Axial slice.
FLAIR MR image.
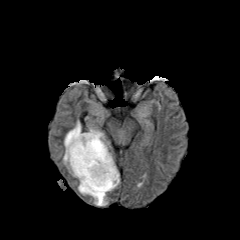
T1-weighted magnetic resonance.
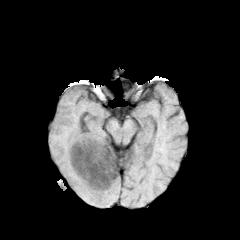
Post-contrast T1-weighted magnetic resonance.
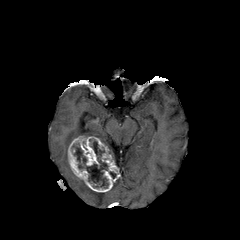
T2-weighted MR image.
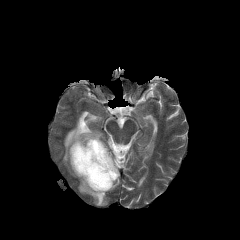
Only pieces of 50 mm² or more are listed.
necrotic tumor core at <box>72,145,86,164</box>, <box>86,141,108,188</box>
enhancing tumor at <box>68,136,119,192</box>
peritumoral edema at <box>78,179,107,205</box>, <box>63,120,109,177</box>, <box>108,178,119,191</box>